FLAIR magnetic resonance.
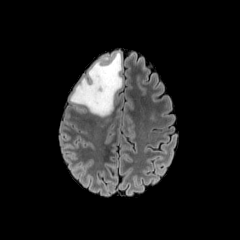
T1-weighted MR.
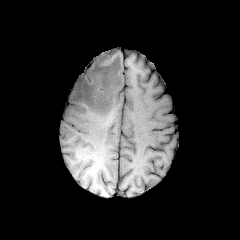
Post-contrast T1-weighted MR image.
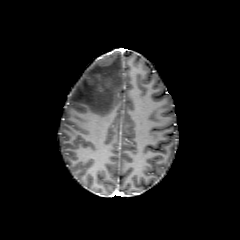
T2-weighted MR.
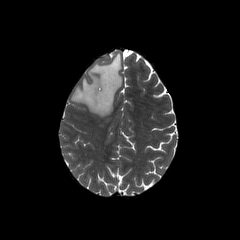
240x240 px; Brain
peritumoral edema at 70, 52, 122, 117